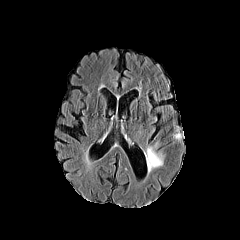
FLAIR MRI.
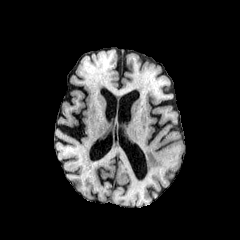
Same slice, T1-weighted MR image.
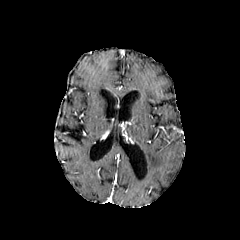
Post-contrast T1-weighted magnetic resonance.
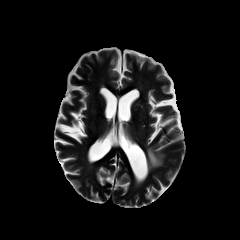
Same slice, T2-weighted MR image.
Image size 240x240.
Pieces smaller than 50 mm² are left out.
Annotated regions:
• peritumoral edema: box(146, 147, 162, 170)